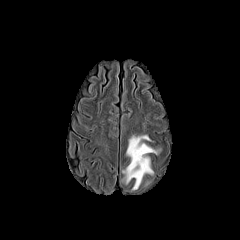
FLAIR MRI.
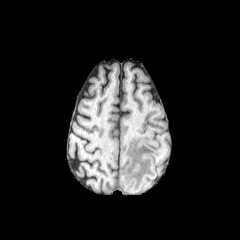
T1-weighted MR image.
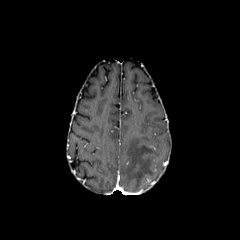
Post-contrast T1-weighted MRI.
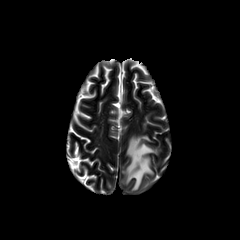
T2-weighted MR image.
Axial view.
The peritumoral edema is bounded by (122, 135, 157, 190).